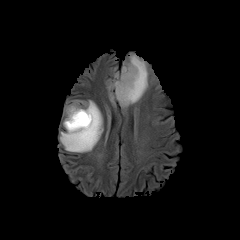
FLAIR MR.
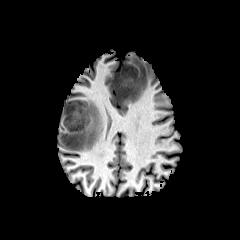
T1-weighted MR.
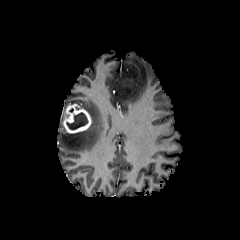
Post-contrast T1-weighted MRI of the same slice.
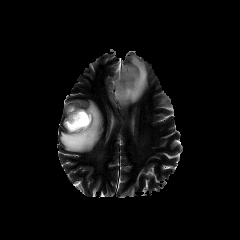
T2-weighted MR.
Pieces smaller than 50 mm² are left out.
Annotated regions:
• necrotic tumor core: <bbox>66, 112, 87, 129</bbox>
• peritumoral edema: <bbox>59, 100, 103, 152</bbox>, <bbox>107, 54, 148, 107</bbox>
• enhancing tumor: <bbox>63, 104, 91, 133</bbox>